Image size 240x240.
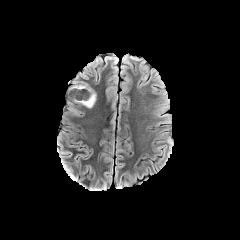
FLAIR MR.
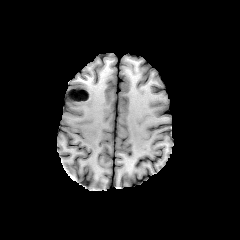
Same slice, T1-weighted MRI.
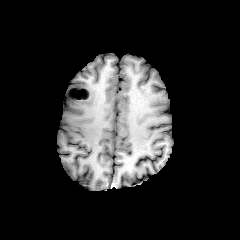
Post-contrast T1-weighted magnetic resonance.
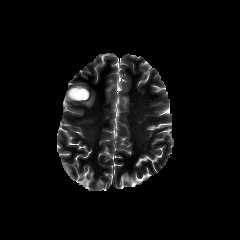
T2-weighted MR image of the same slice.
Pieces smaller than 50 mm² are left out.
The enhancing tumor is bounded by region(68, 87, 90, 100). The 2 largest peritumoral edema regions are located at region(71, 82, 88, 88); region(74, 92, 95, 107). The necrotic tumor core is at region(69, 88, 88, 99).